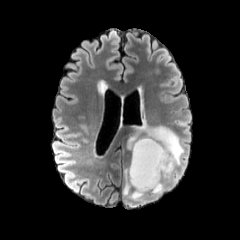
FLAIR MR.
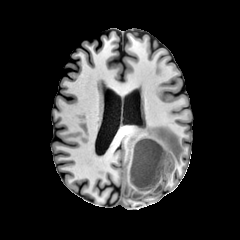
T1-weighted MRI of the same slice.
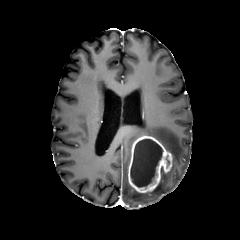
Post-contrast T1-weighted magnetic resonance of the same slice.
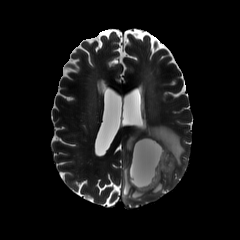
T2-weighted MR image.
Axial slice | 240x240 | Brain
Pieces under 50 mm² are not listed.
enhancing tumor = (128,135,172,193)
peritumoral edema = (127,120,184,196), (123,168,149,203)
necrotic tumor core = (130,139,162,187)